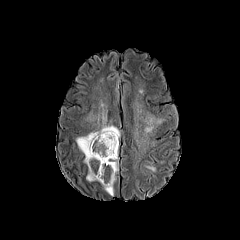
FLAIR MRI.
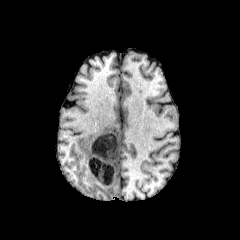
T1-weighted magnetic resonance of the same slice.
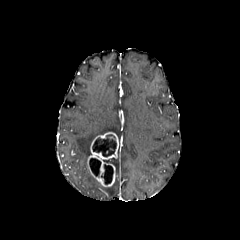
Post-contrast T1-weighted MRI.
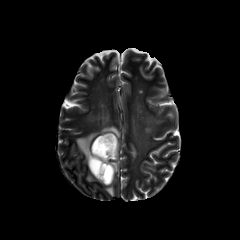
T2-weighted magnetic resonance of the same slice.
Brain. Image size 240x240. Axial view.
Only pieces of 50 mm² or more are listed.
The 5 largest peritumoral edema regions appear at <bbox>145, 115, 163, 132</bbox>, <bbox>76, 110, 120, 163</bbox>, <bbox>107, 158, 118, 172</bbox>, <bbox>86, 172, 96, 181</bbox>, <bbox>104, 185, 114, 195</bbox>. The largest enhancing tumor region is at <bbox>87, 132, 118, 186</bbox>. The 3 largest necrotic tumor core regions are bounded by <bbox>101, 164, 113, 184</bbox>, <bbox>92, 135, 116, 156</bbox>, <bbox>89, 158, 100, 176</bbox>.